Slice 57/155; Image width 240 mm
FLAIR magnetic resonance.
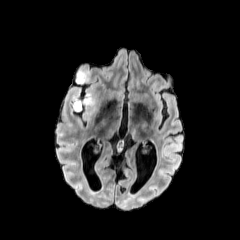
T1-weighted MR image.
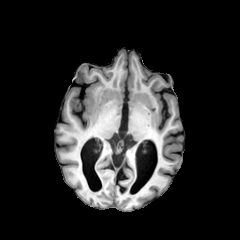
Post-contrast T1-weighted MR.
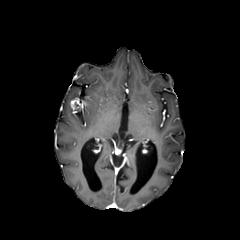
T2-weighted magnetic resonance.
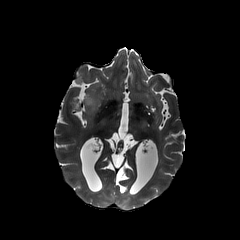
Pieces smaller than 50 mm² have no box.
Findings:
* peritumoral edema: [x1=74, y1=93, x2=92, y2=112], [x1=76, y1=71, x2=86, y2=82]
* enhancing tumor: [x1=70, y1=97, x2=87, y2=109]